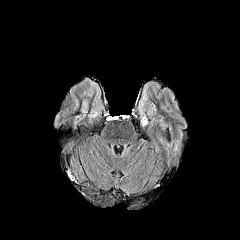
FLAIR magnetic resonance.
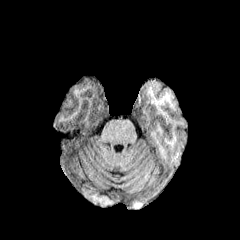
Same slice, T1-weighted MR.
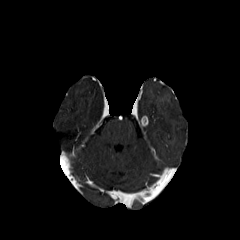
Post-contrast T1-weighted MR image.
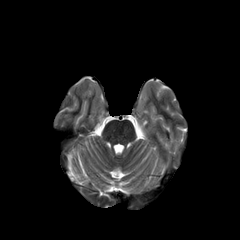
T2-weighted MR.
Axial view.
The enhancing tumor is at l=140, t=116, r=148, b=126.